Image size 240x240, Slice 104/155, Brain
FLAIR MR.
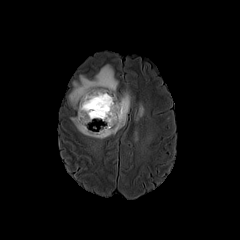
T1-weighted MR image.
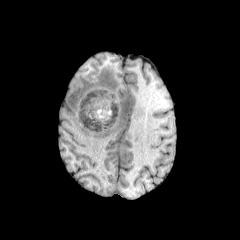
Post-contrast T1-weighted magnetic resonance.
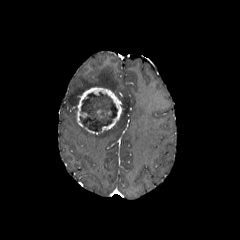
T2-weighted magnetic resonance.
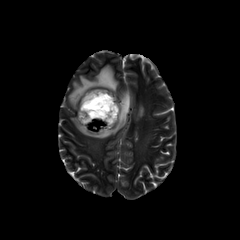
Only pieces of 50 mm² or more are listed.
Segmented structures:
• necrotic tumor core: rect(80, 92, 117, 131)
• peritumoral edema: rect(136, 105, 144, 119); rect(68, 65, 130, 139)
• enhancing tumor: rect(76, 87, 123, 133)